FLAIR MR image.
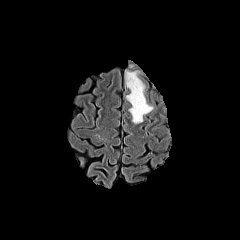
T1-weighted magnetic resonance.
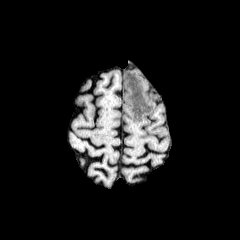
Post-contrast T1-weighted MR image.
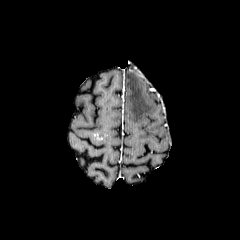
T2-weighted MR.
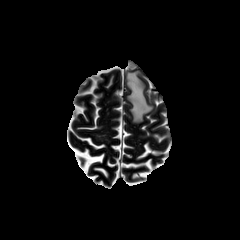
Axial slice
Findings:
- peritumoral edema: (126, 71, 152, 123)